Head; Image width 240 mm, 1.00 mm slice spacing
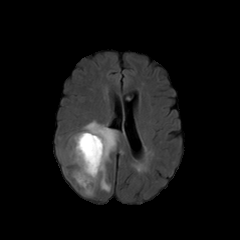
FLAIR magnetic resonance.
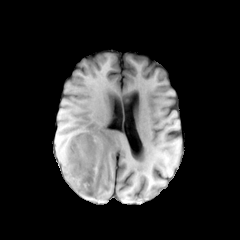
T1-weighted MR.
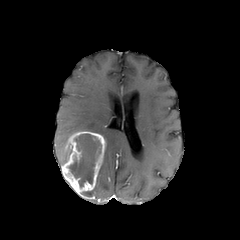
Post-contrast T1-weighted MR.
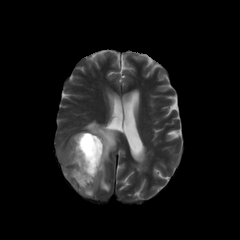
T2-weighted MR.
peritumoral edema = (81, 120, 118, 196), (59, 142, 72, 164)
enhancing tumor = (61, 131, 106, 194)
necrotic tumor core = (69, 134, 101, 186)